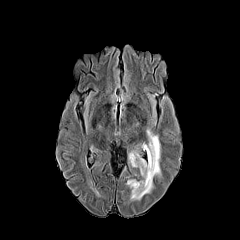
FLAIR magnetic resonance.
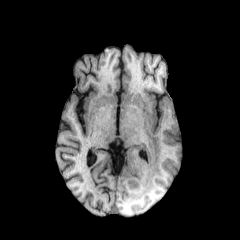
Same slice, T1-weighted MR image.
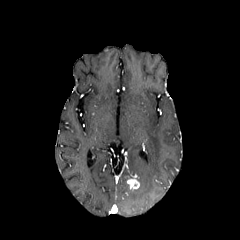
Post-contrast T1-weighted magnetic resonance.
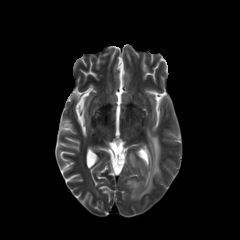
T2-weighted MR of the same slice.
Axial plane.
{"enhancing_tumor": ["box(127, 178, 140, 190)"], "peritumoral_edema": ["box(129, 131, 160, 199)"]}